FLAIR MR image.
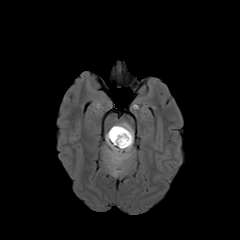
T1-weighted MR image.
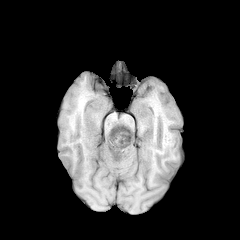
Post-contrast T1-weighted magnetic resonance.
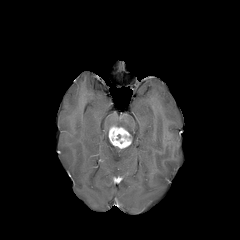
T2-weighted magnetic resonance.
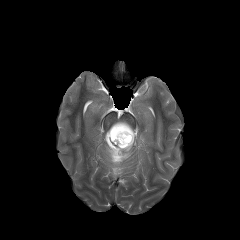
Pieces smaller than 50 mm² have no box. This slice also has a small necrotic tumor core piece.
The enhancing tumor is at bbox=[108, 126, 131, 148]. The peritumoral edema lies within bbox=[103, 121, 133, 176].